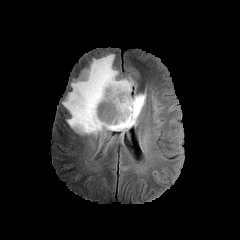
FLAIR MR image.
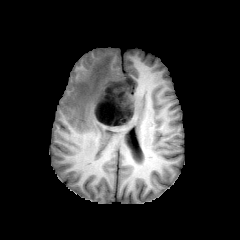
T1-weighted MRI of the same slice.
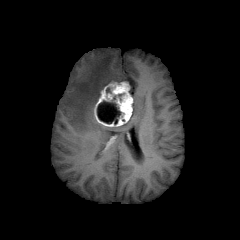
Post-contrast T1-weighted MRI.
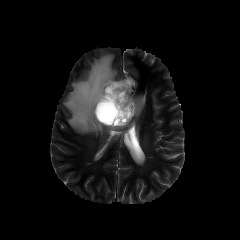
T2-weighted MR image.
Head. Axial plane.
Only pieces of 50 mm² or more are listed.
peritumoral_edema:
  - x1=62 y1=53 x2=145 y2=140
enhancing_tumor:
  - x1=93 y1=81 x2=133 y2=127
necrotic_tumor_core:
  - x1=97 y1=101 x2=120 y2=124